FLAIR magnetic resonance.
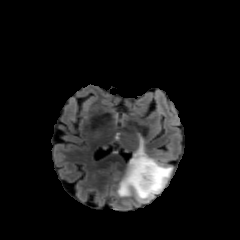
T1-weighted MR image.
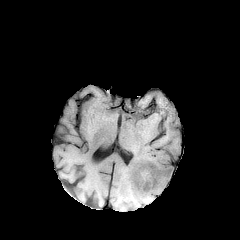
Post-contrast T1-weighted MR image.
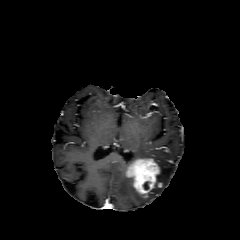
T2-weighted MR image.
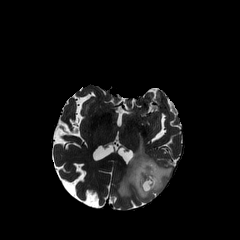
240x240 px. Head.
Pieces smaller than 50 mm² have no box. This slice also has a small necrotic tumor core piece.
peritumoral edema = 117, 139, 172, 202
enhancing tumor = 126, 158, 162, 197